240x240
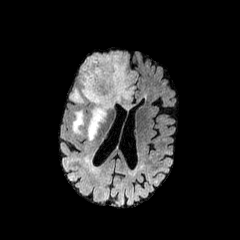
FLAIR MR image.
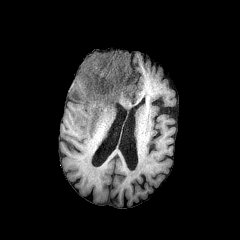
Same slice, T1-weighted MRI.
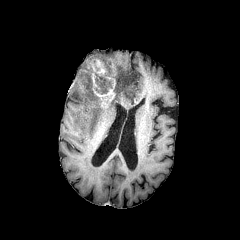
Post-contrast T1-weighted MR image.
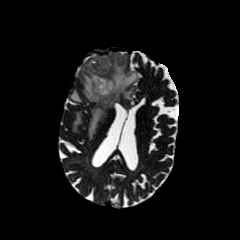
T2-weighted MRI of the same slice.
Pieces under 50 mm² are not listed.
• necrotic tumor core: box(95, 73, 112, 93)
• peritumoral edema: box(73, 111, 83, 133); box(70, 52, 136, 140)
• enhancing tumor: box(84, 53, 125, 107)